FLAIR magnetic resonance.
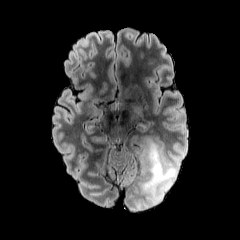
T1-weighted MR.
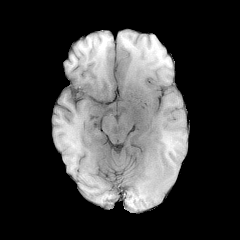
Post-contrast T1-weighted MRI.
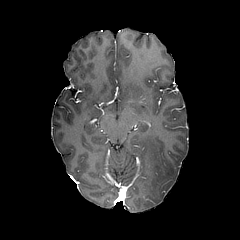
T2-weighted MR image.
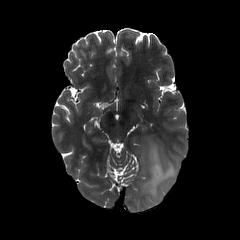
240x240, Axial plane
peritumoral edema at {"x1": 141, "y1": 137, "x2": 178, "y2": 206}